Head; 240x240 px; Image width 240 mm, 1.00 mm slice spacing
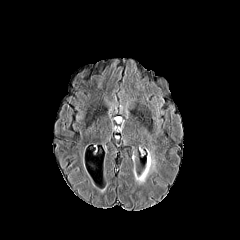
FLAIR MRI.
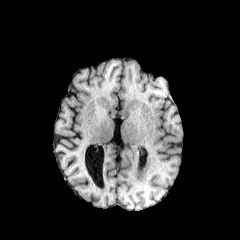
Same slice, T1-weighted MRI.
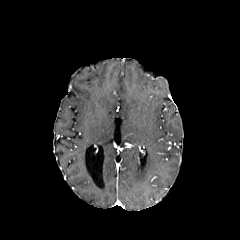
Post-contrast T1-weighted MRI.
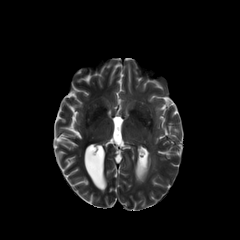
Same slice, T2-weighted MR image.
peritumoral_edema:
  - 134, 152, 155, 182